Axial view | Image width 240 mm, 1.00 mm slice spacing | Slice index 64 | Brain
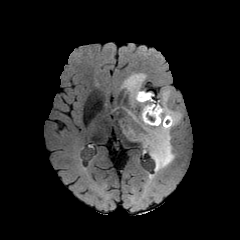
FLAIR MRI.
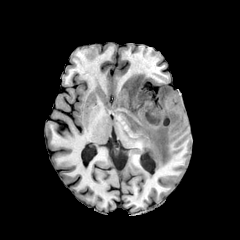
T1-weighted MR image of the same slice.
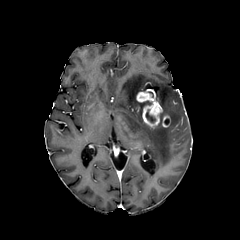
Post-contrast T1-weighted MR of the same slice.
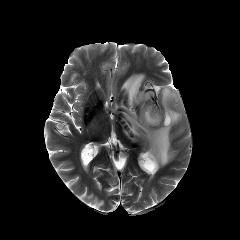
T2-weighted MR.
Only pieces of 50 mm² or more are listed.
The 2 largest peritumoral edema regions appear at (x1=122, y1=87, x2=181, y2=171), (x1=121, y1=73, x2=145, y2=105). The largest necrotic tumor core region is located at (x1=146, y1=110, x2=155, y2=122). The 2 largest enhancing tumor regions are located at (x1=136, y1=91, x2=162, y2=127), (x1=162, y1=114, x2=169, y2=127).